FLAIR magnetic resonance.
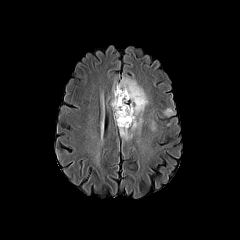
T1-weighted magnetic resonance.
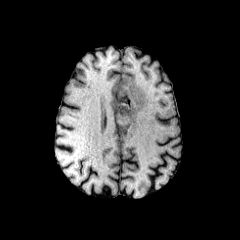
Post-contrast T1-weighted magnetic resonance.
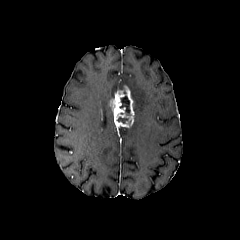
T2-weighted MRI.
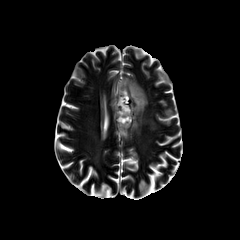
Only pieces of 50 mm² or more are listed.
The 3 largest peritumoral edema regions are located at (x1=113, y1=77, x2=148, y2=139), (x1=164, y1=108, x2=174, y2=116), (x1=151, y1=121, x2=156, y2=130). The 2 largest necrotic tumor core regions are bounded by (x1=120, y1=96, x2=130, y2=115), (x1=117, y1=117, x2=128, y2=123). The enhancing tumor is located at (x1=110, y1=86, x2=134, y2=127).